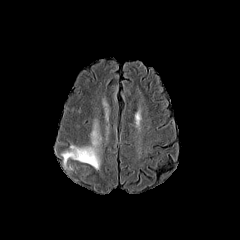
FLAIR MR image.
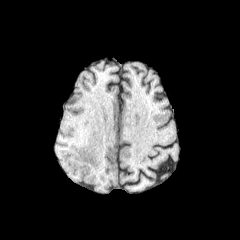
T1-weighted magnetic resonance of the same slice.
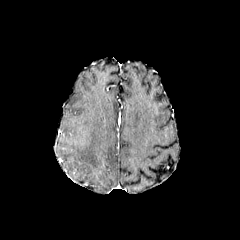
Post-contrast T1-weighted MR.
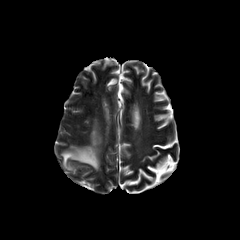
Same slice, T2-weighted MR.
<segmentation>
  <peritumoral_edema>[62, 123, 101, 169]</peritumoral_edema>
</segmentation>